Image size 240x240 | Axial slice
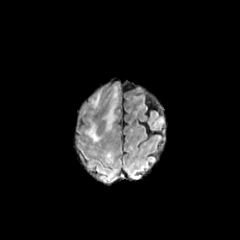
FLAIR MR.
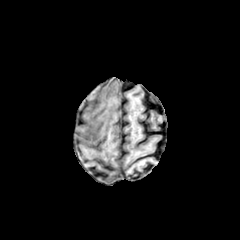
T1-weighted MR image.
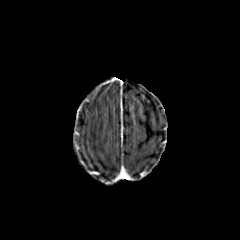
Post-contrast T1-weighted MRI.
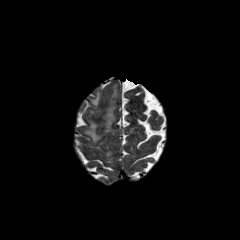
T2-weighted MRI.
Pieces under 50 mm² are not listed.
peritumoral edema: 86 123 100 142, 91 93 99 106, 104 101 115 131